FLAIR MR image.
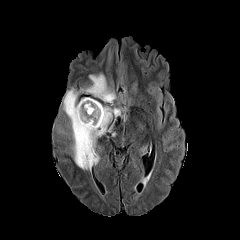
T1-weighted MRI.
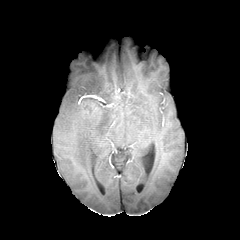
Post-contrast T1-weighted MR image.
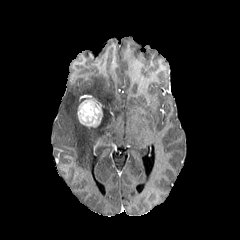
T2-weighted magnetic resonance.
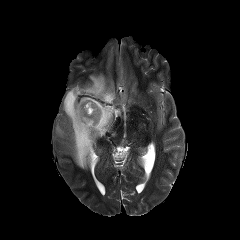
Head.
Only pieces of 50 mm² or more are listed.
Findings:
• enhancing tumor: x1=77 y1=97 x2=102 y2=127
• peritumoral edema: x1=63 y1=73 x2=124 y2=169